Axial plane; Image size 240x240
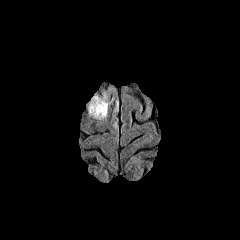
FLAIR MR image.
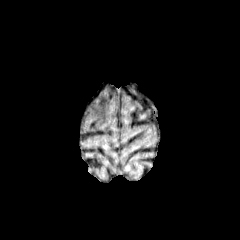
Same slice, T1-weighted MRI.
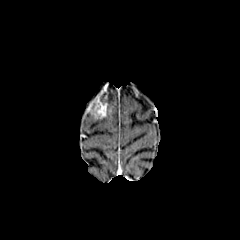
Post-contrast T1-weighted magnetic resonance of the same slice.
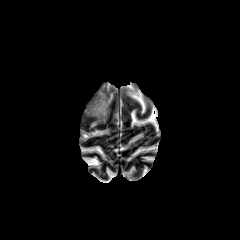
Same slice, T2-weighted MRI.
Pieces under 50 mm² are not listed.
enhancing tumor — (left=87, top=97, right=107, bottom=119)
peritumoral edema — (left=112, top=101, right=118, bottom=117)